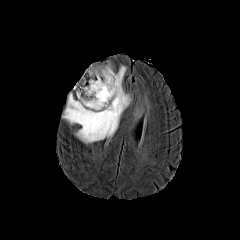
FLAIR magnetic resonance.
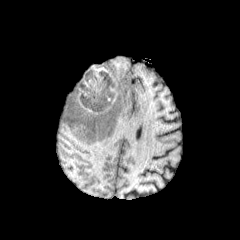
T1-weighted MR image.
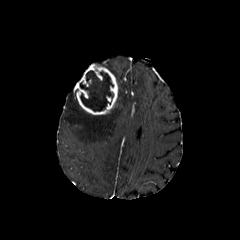
Post-contrast T1-weighted MRI.
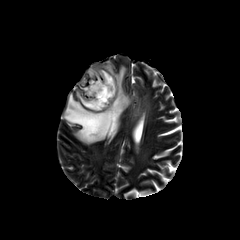
T2-weighted MR image of the same slice.
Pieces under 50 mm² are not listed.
{"enhancing_tumor": ["(left=74, top=63, right=118, bottom=114)"], "peritumoral_edema": ["(left=62, top=63, right=133, bottom=144)"], "necrotic_tumor_core": ["(left=80, top=70, right=113, bottom=111)"]}